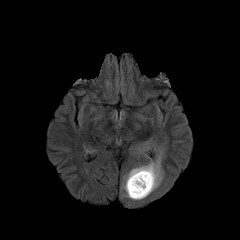
FLAIR magnetic resonance.
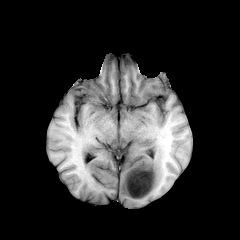
T1-weighted MRI.
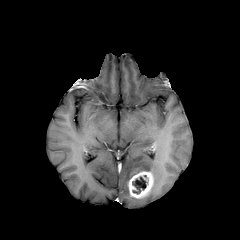
Post-contrast T1-weighted MR.
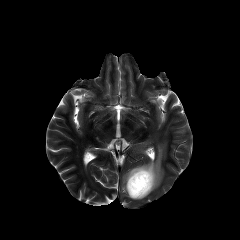
T2-weighted MR image of the same slice.
Image size 240x240; Head
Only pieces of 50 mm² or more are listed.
peritumoral edema — l=121, t=147, r=163, b=200
necrotic tumor core — l=132, t=177, r=147, b=194
enhancing tumor — l=127, t=169, r=154, b=198